FLAIR MR.
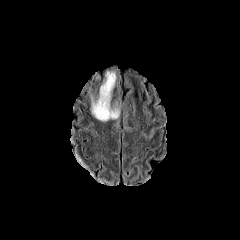
T1-weighted magnetic resonance.
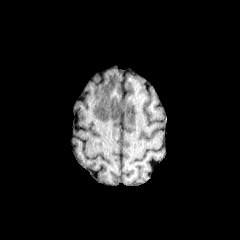
Post-contrast T1-weighted MR image.
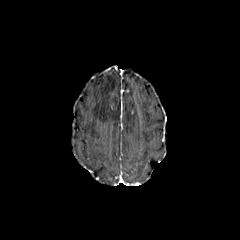
T2-weighted MR image.
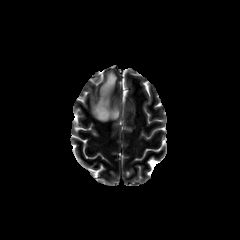
Axial slice, Head
peritumoral edema: bounding box box=[91, 72, 119, 121]